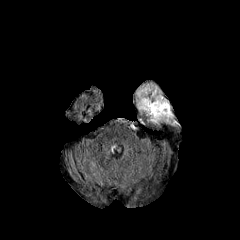
FLAIR MR.
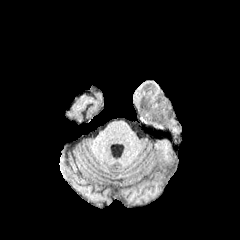
T1-weighted magnetic resonance.
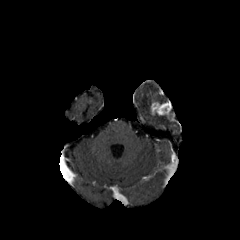
Same slice, post-contrast T1-weighted magnetic resonance.
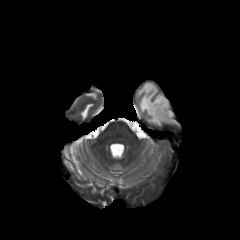
T2-weighted MRI of the same slice.
240x240 px
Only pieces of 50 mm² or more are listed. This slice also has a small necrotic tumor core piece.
enhancing_tumor:
  - bbox(151, 102, 172, 119)
peritumoral_edema:
  - bbox(137, 83, 175, 124)